Axial slice; Image size 240x240; Image width 240 mm
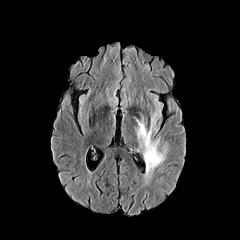
FLAIR MRI.
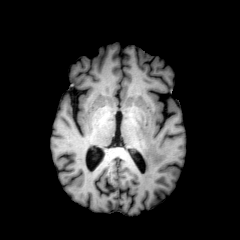
T1-weighted magnetic resonance.
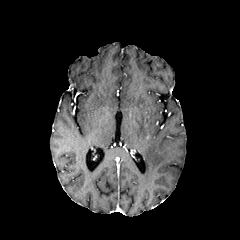
Same slice, post-contrast T1-weighted MR.
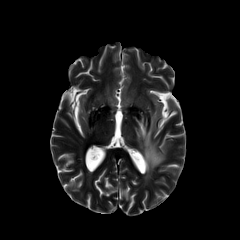
T2-weighted MRI of the same slice.
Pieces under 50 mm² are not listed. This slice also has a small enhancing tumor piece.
peritumoral edema: bounding box <box>133,102,170,184</box>